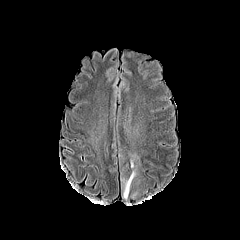
FLAIR MRI.
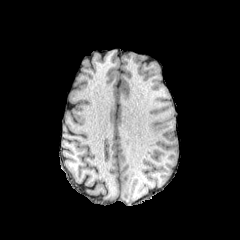
T1-weighted MR image.
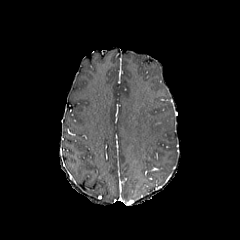
Post-contrast T1-weighted MR.
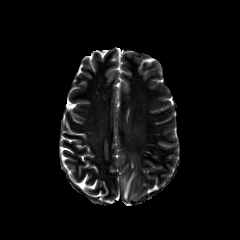
T2-weighted MRI.
Head
The peritumoral edema is bounded by box=[123, 172, 135, 198].